FLAIR MRI.
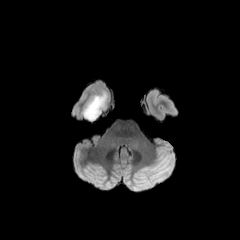
T1-weighted MR image.
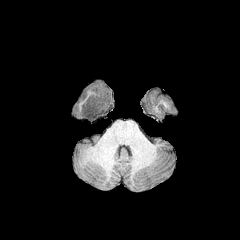
Post-contrast T1-weighted MR image.
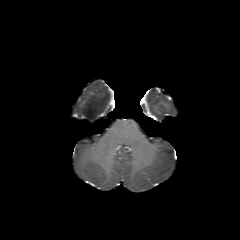
T2-weighted MRI.
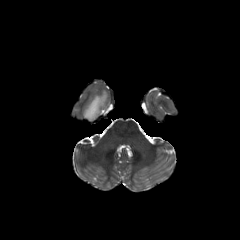
240x240 px; Head
Findings:
- peritumoral edema: [x1=83, y1=91, x2=107, y2=121]